Axial slice.
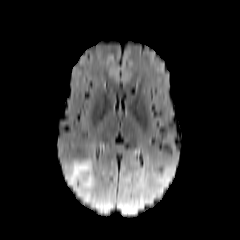
FLAIR magnetic resonance.
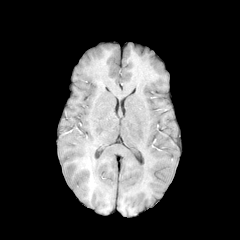
T1-weighted MR image.
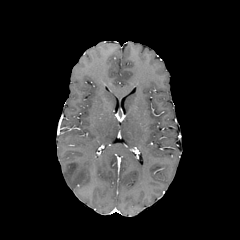
Post-contrast T1-weighted MR image of the same slice.
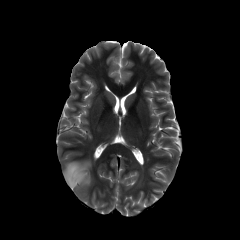
Same slice, T2-weighted MRI.
peritumoral edema at {"x1": 65, "y1": 159, "x2": 93, "y2": 201}